Image width 240 mm, 240x240, Brain
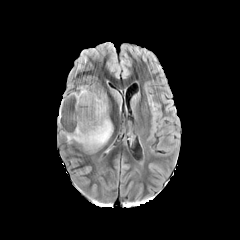
FLAIR MRI.
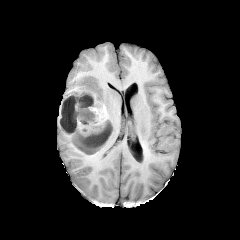
T1-weighted magnetic resonance.
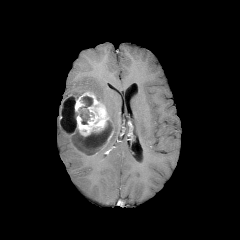
Post-contrast T1-weighted MR image.
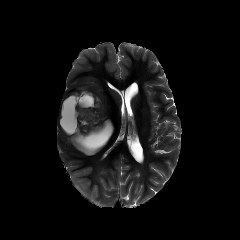
T2-weighted MR of the same slice.
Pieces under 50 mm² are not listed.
{
  "peritumoral_edema": [
    "(x1=73, y1=87, x2=88, y2=95)",
    "(x1=91, y1=85, x2=111, y2=115)"
  ],
  "necrotic_tumor_core": [
    "(x1=79, y1=96, x2=92, y2=124)",
    "(x1=61, y1=97, x2=77, y2=131)",
    "(x1=79, y1=122, x2=111, y2=149)"
  ],
  "enhancing_tumor": [
    "(x1=58, y1=92, x2=113, y2=155)"
  ]
}